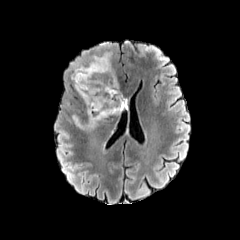
FLAIR magnetic resonance.
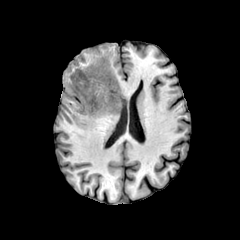
T1-weighted MRI of the same slice.
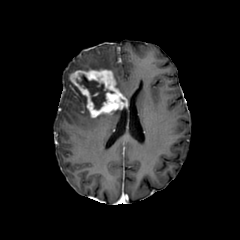
Same slice, post-contrast T1-weighted MR.
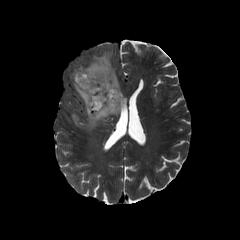
T2-weighted MRI.
Axial view | Head
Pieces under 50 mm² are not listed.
Findings:
- enhancing tumor: (70, 69, 127, 117)
- necrotic tumor core: (77, 74, 113, 109)
- peritumoral edema: (72, 83, 86, 104), (72, 52, 119, 89), (72, 110, 112, 129)